Slice 63/155 | 240x240 px | Head
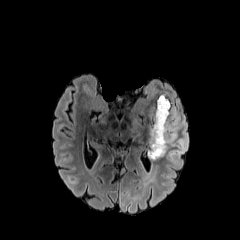
FLAIR MRI.
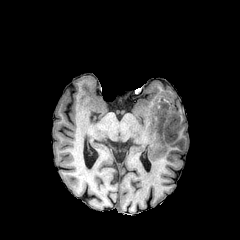
T1-weighted MR.
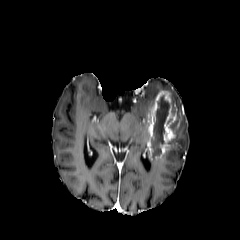
Post-contrast T1-weighted MRI.
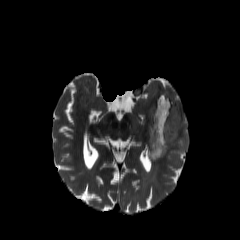
T2-weighted MR image.
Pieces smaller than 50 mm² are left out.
The 2 largest peritumoral edema regions appear at l=153, t=81, r=161, b=101; l=149, t=88, r=188, b=169. The largest necrotic tumor core region is located at l=151, t=95, r=169, b=157. The enhancing tumor appears at l=146, t=90, r=180, b=159.